Head. 240x240. Axial plane.
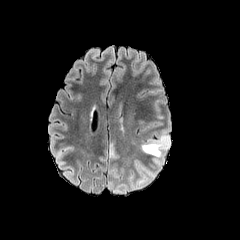
FLAIR MR image.
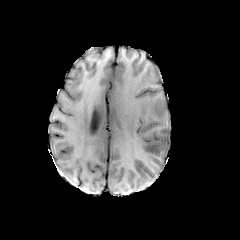
Same slice, T1-weighted MRI.
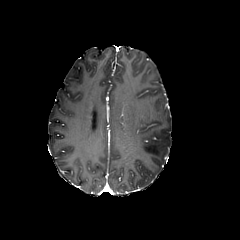
Post-contrast T1-weighted magnetic resonance.
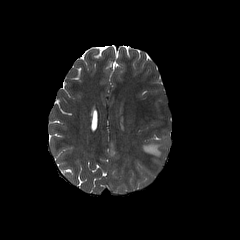
T2-weighted magnetic resonance.
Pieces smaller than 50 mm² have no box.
peritumoral edema at left=141, top=131, right=170, bottom=170